Brain | Axial plane
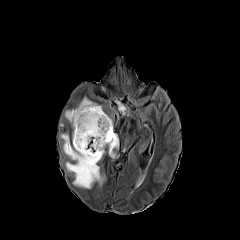
FLAIR MRI.
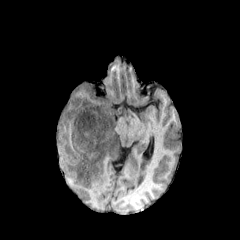
T1-weighted MRI.
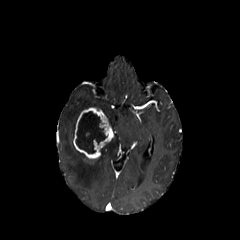
Post-contrast T1-weighted MRI.
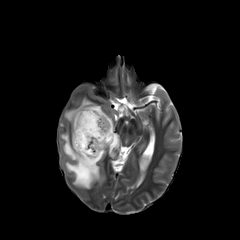
T2-weighted MR image.
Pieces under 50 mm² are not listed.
peritumoral edema: box=[64, 97, 102, 142]; box=[114, 101, 125, 114]; box=[106, 133, 118, 157]; box=[60, 133, 105, 188] | necrotic tumor core: box=[76, 111, 106, 153] | enhancing tumor: box=[73, 107, 114, 159]